FLAIR magnetic resonance.
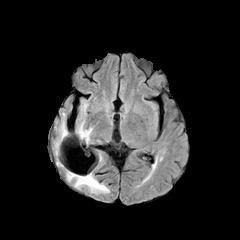
T1-weighted MRI.
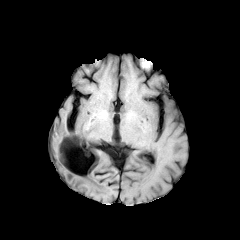
Post-contrast T1-weighted MR image.
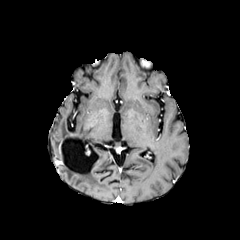
T2-weighted MRI.
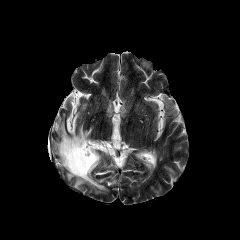
Image size 240x240, Brain
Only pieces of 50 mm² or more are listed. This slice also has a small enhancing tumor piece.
peritumoral_edema:
  - bbox(78, 127, 91, 141)
  - bbox(67, 171, 108, 192)
  - bbox(55, 121, 67, 154)